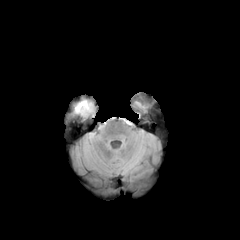
FLAIR MRI.
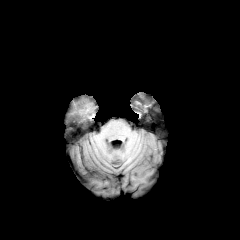
Same slice, T1-weighted magnetic resonance.
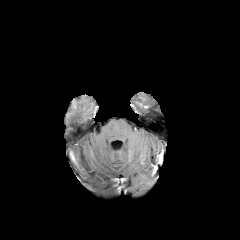
Post-contrast T1-weighted MR.
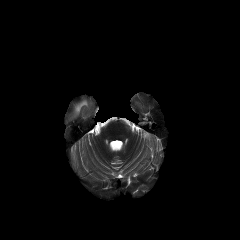
Same slice, T2-weighted magnetic resonance.
Axial plane; Head
The peritumoral edema is at <bbox>74, 99, 92, 115</bbox>.